Slice 70 of 155 | Head | Image size 240x240 | Axial slice
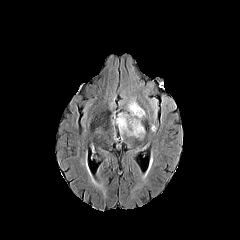
FLAIR MR image.
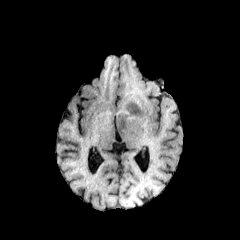
T1-weighted magnetic resonance.
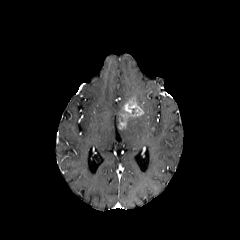
Post-contrast T1-weighted MR of the same slice.
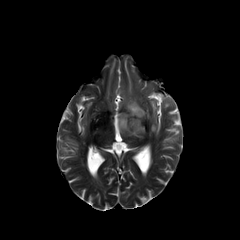
T2-weighted MR image of the same slice.
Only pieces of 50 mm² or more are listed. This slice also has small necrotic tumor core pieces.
• enhancing tumor: (118,99,144,129)
• peritumoral edema: (119,113,144,138)